Image size 240x240. Head. Image width 240 mm. Axial view.
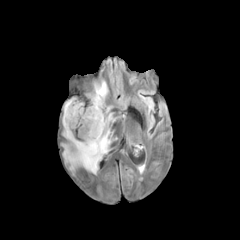
FLAIR MR image.
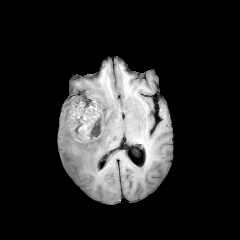
Same slice, T1-weighted MR image.
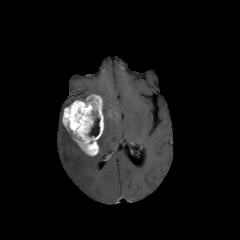
Same slice, post-contrast T1-weighted MRI.
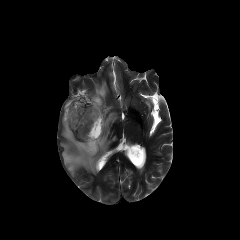
T2-weighted MR.
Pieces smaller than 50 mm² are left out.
2 enhancing tumor regions are bounded by rect(109, 108, 117, 120); rect(62, 94, 104, 155). 2 peritumoral edema regions are bounded by rect(62, 81, 113, 174); rect(64, 98, 76, 107). The largest necrotic tumor core region is bounded by rect(88, 117, 99, 136).